Axial slice. 240x240. Brain.
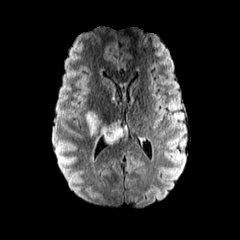
FLAIR MR image.
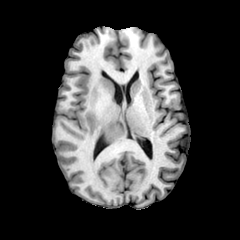
Same slice, T1-weighted magnetic resonance.
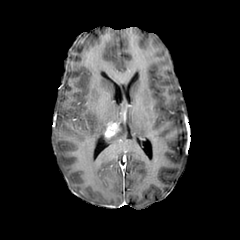
Same slice, post-contrast T1-weighted MR.
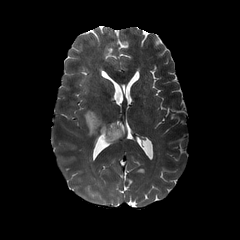
T2-weighted MR image of the same slice.
peritumoral edema: [103,116,128,144], [84,109,106,149]
enhancing tumor: [103,122,119,139]